Head, 240x240 px
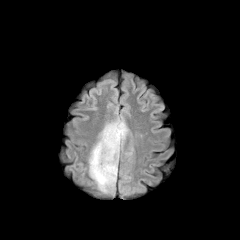
FLAIR MR.
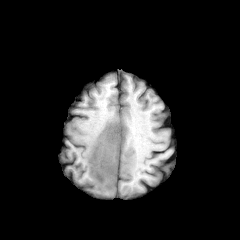
T1-weighted MRI.
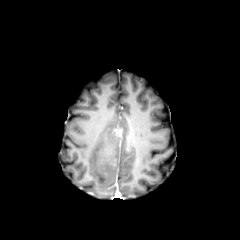
Same slice, post-contrast T1-weighted magnetic resonance.
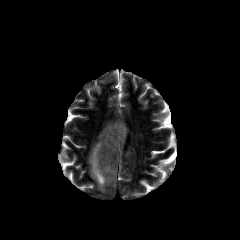
T2-weighted MR image of the same slice.
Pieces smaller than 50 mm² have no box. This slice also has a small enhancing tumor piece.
Annotated regions:
• peritumoral edema: box=[88, 119, 128, 192]